Head | Image size 240x240 | Slice index 92
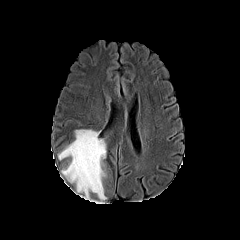
FLAIR MR.
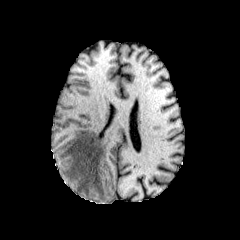
T1-weighted MR.
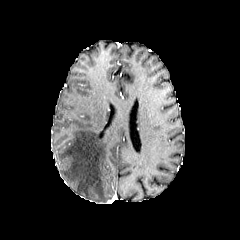
Post-contrast T1-weighted MRI.
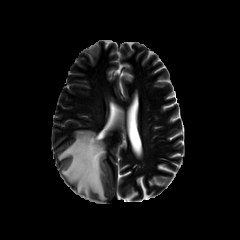
T2-weighted magnetic resonance of the same slice.
peritumoral edema: {"x1": 58, "y1": 129, "x2": 106, "y2": 202}